Axial slice. Head.
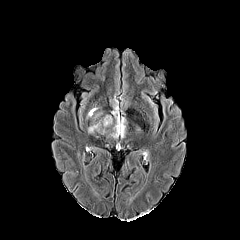
FLAIR MR.
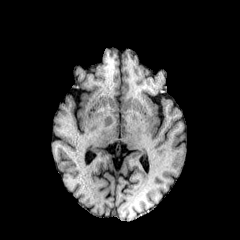
Same slice, T1-weighted MR image.
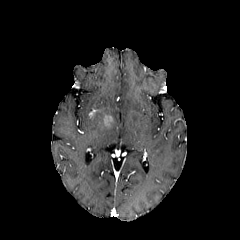
Post-contrast T1-weighted MRI.
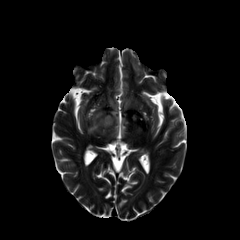
T2-weighted MRI.
Segmented structures:
* enhancing tumor: box=[104, 115, 112, 126]
* peritumoral edema: box=[87, 107, 107, 133]; box=[108, 99, 126, 138]